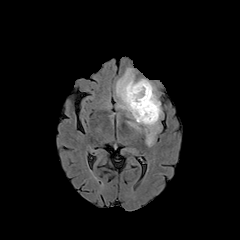
FLAIR MR.
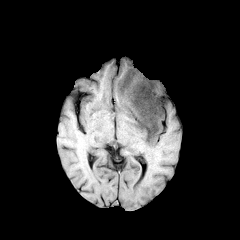
T1-weighted MR image of the same slice.
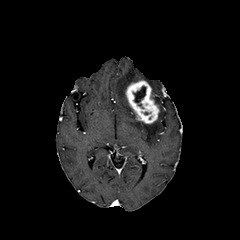
Post-contrast T1-weighted MR image of the same slice.
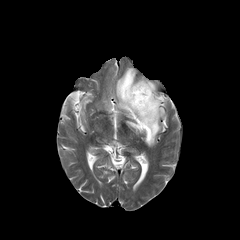
Same slice, T2-weighted MR.
Head; Image size 240x240; Axial plane
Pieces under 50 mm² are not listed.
enhancing_tumor:
  - 125,80,159,124
peritumoral_edema:
  - 141,79,160,106
  - 116,68,162,146
necrotic_tumor_core:
  - 134,86,145,102